Slice 63/155.
FLAIR MR image.
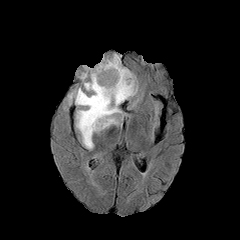
T1-weighted MR.
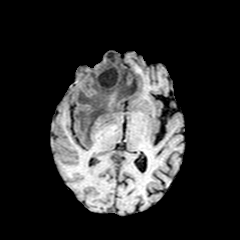
Post-contrast T1-weighted magnetic resonance.
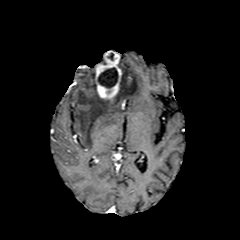
T2-weighted MR image.
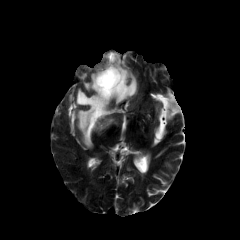
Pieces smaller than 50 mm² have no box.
{
  "peritumoral_edema": [
    "(left=75, top=58, right=137, bottom=148)"
  ],
  "necrotic_tumor_core": [
    "(left=98, top=67, right=118, bottom=88)"
  ],
  "enhancing_tumor": [
    "(left=95, top=51, right=122, bottom=99)"
  ]
}